240x240. Slice 131/155.
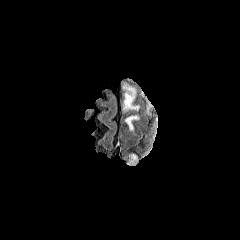
FLAIR MRI.
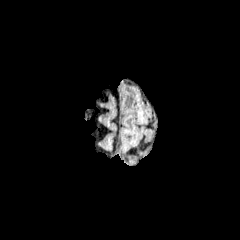
T1-weighted MR image of the same slice.
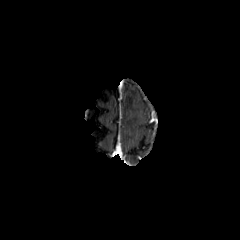
Post-contrast T1-weighted magnetic resonance.
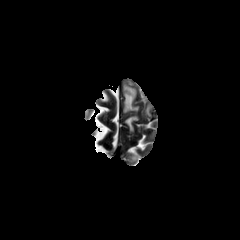
T2-weighted MR.
peritumoral edema: bounding box <bbox>128, 153, 137, 163</bbox>, <bbox>123, 85, 138, 111</bbox>, <bbox>125, 116, 138, 130</bbox>